FLAIR MRI.
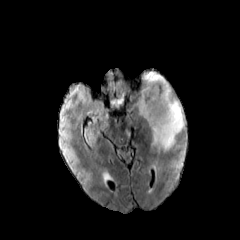
T1-weighted MR.
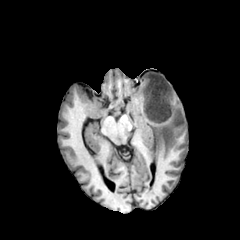
Post-contrast T1-weighted MR.
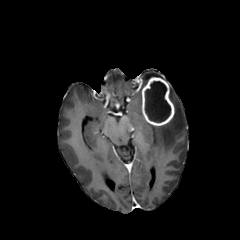
T2-weighted magnetic resonance.
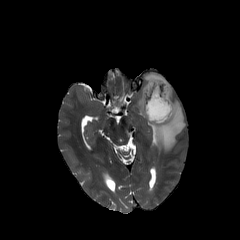
Image size 240x240, Head
The enhancing tumor is bounded by 141 77 174 125. The necrotic tumor core lies within 145 81 170 122. 3 peritumoral edema regions are located at 149 87 185 151, 137 94 142 115, 143 72 163 84.